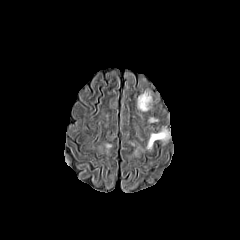
FLAIR MR image.
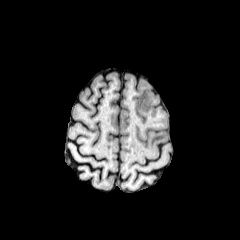
T1-weighted magnetic resonance.
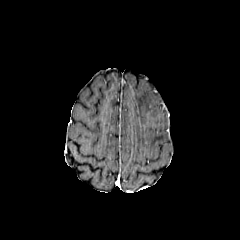
Same slice, post-contrast T1-weighted MRI.
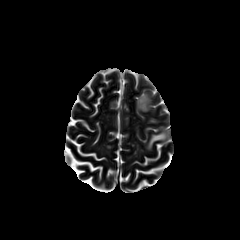
Same slice, T2-weighted magnetic resonance.
Axial slice
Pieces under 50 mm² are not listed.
{"peritumoral_edema": ["box=[137, 92, 151, 111]", "box=[147, 131, 167, 148]"]}